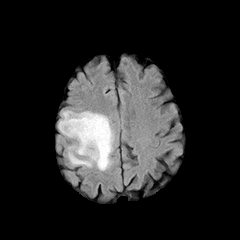
FLAIR magnetic resonance.
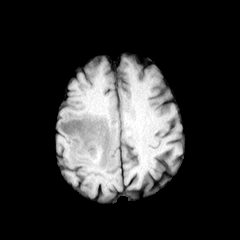
T1-weighted magnetic resonance of the same slice.
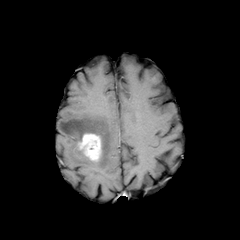
Post-contrast T1-weighted magnetic resonance.
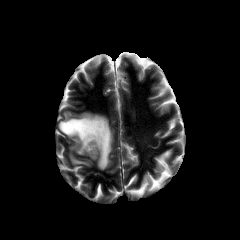
T2-weighted MR image.
Axial slice; Brain
peritumoral edema: (58, 111, 114, 170) | enhancing tumor: (77, 133, 101, 160)